Slice 54/155 | Brain
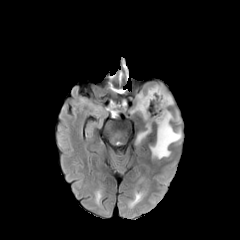
FLAIR MR image.
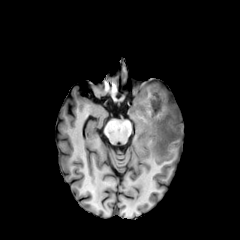
T1-weighted magnetic resonance of the same slice.
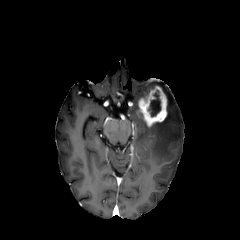
Post-contrast T1-weighted MRI.
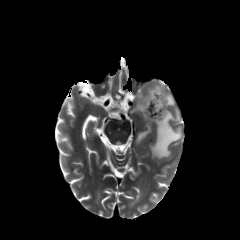
Same slice, T2-weighted magnetic resonance.
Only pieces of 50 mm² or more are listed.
{"enhancing_tumor": ["bbox(138, 86, 167, 126)"], "necrotic_tumor_core": ["bbox(148, 90, 160, 116)"], "peritumoral_edema": ["bbox(150, 110, 181, 158)", "bbox(136, 125, 150, 144)", "bbox(159, 86, 173, 105)"]}